FLAIR MR.
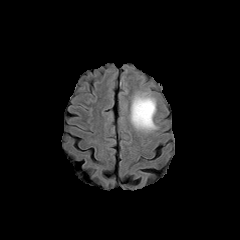
T1-weighted MRI.
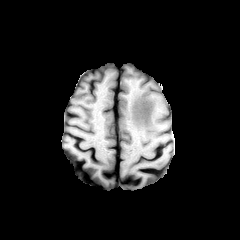
Post-contrast T1-weighted magnetic resonance.
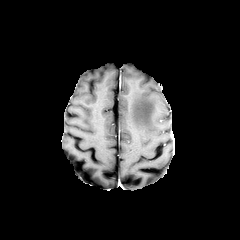
T2-weighted magnetic resonance.
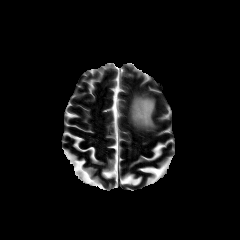
Axial view
Segmented structures:
* peritumoral edema: (130, 93, 156, 131)